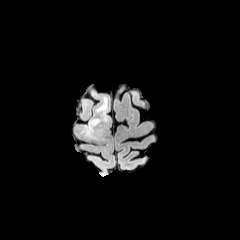
FLAIR MR image.
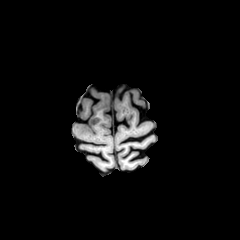
T1-weighted MRI.
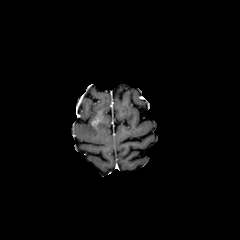
Post-contrast T1-weighted MRI.
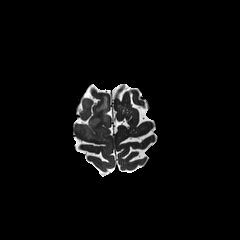
Same slice, T2-weighted MR image.
Axial plane
The enhancing tumor is at 91, 109, 103, 127. 2 peritumoral edema regions appear at 95, 96, 109, 122; 80, 119, 103, 137.